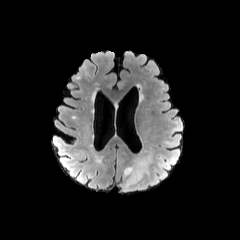
FLAIR MR.
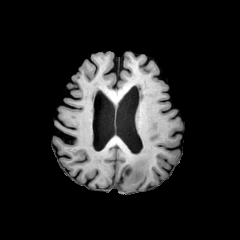
T1-weighted MR image of the same slice.
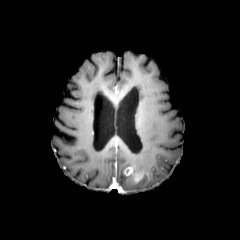
Post-contrast T1-weighted magnetic resonance.
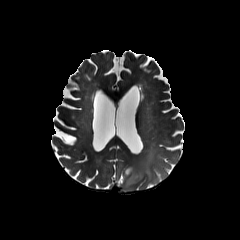
T2-weighted MR image.
Image size 240x240. Brain. Axial view.
peritumoral edema — (x1=118, y1=154, x2=159, y2=191)
enhancing tumor — (x1=123, y1=166, x2=143, y2=184)